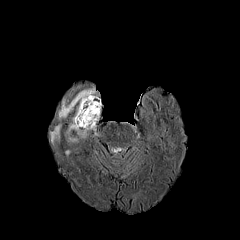
FLAIR MR.
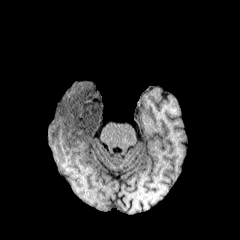
T1-weighted MRI of the same slice.
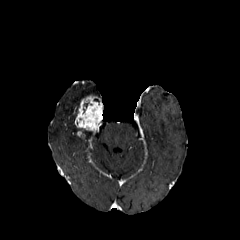
Post-contrast T1-weighted MRI of the same slice.
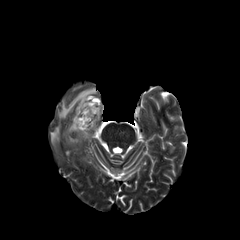
Same slice, T2-weighted MR.
Brain.
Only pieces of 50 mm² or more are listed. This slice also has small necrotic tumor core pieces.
peritumoral edema: 58, 87, 97, 133; 50, 124, 60, 144
enhancing tumor: 74, 95, 102, 136